FLAIR MR image.
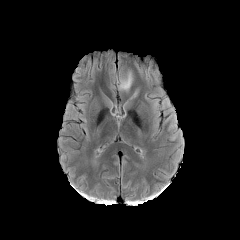
T1-weighted MRI.
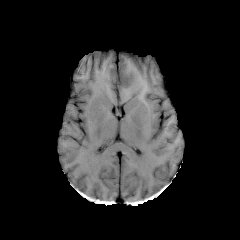
Post-contrast T1-weighted MR.
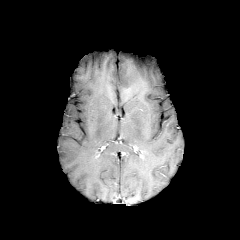
T2-weighted magnetic resonance.
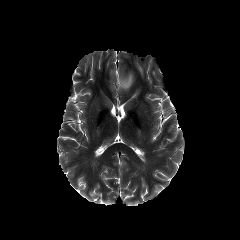
Brain
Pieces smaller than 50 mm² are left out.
The largest peritumoral edema region is at 117 72 133 90.